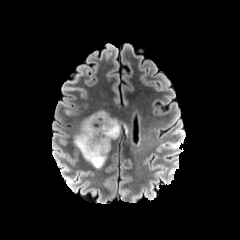
FLAIR magnetic resonance.
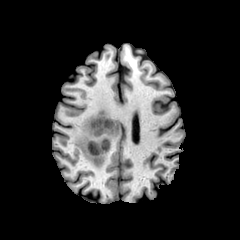
Same slice, T1-weighted MRI.
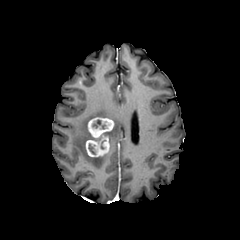
Post-contrast T1-weighted MRI.
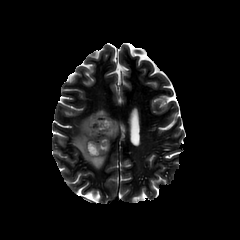
Same slice, T2-weighted MR.
Head. Axial slice.
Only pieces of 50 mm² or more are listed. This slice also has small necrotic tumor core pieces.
2 enhancing tumor regions are located at 88 117 114 137, 86 135 109 156. The largest peritumoral edema region is at 74 110 120 168.